FLAIR MRI.
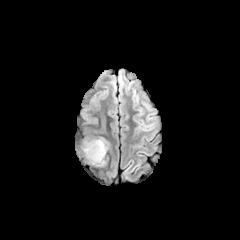
T1-weighted MRI.
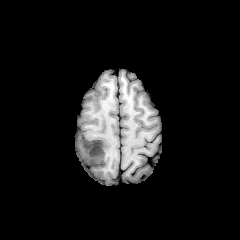
Post-contrast T1-weighted MR image.
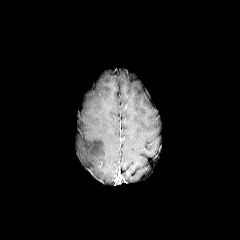
T2-weighted MR image.
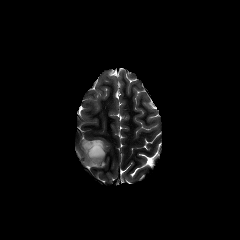
Axial plane, Brain
Findings:
- peritumoral edema: left=82, top=138, right=108, bottom=166